Image covers 240 mm x 240 mm, 240x240, Brain
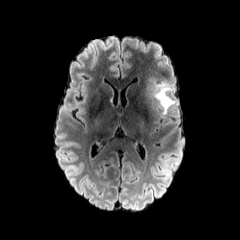
FLAIR magnetic resonance.
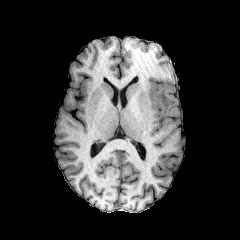
T1-weighted MR of the same slice.
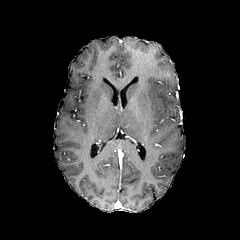
Post-contrast T1-weighted MR.
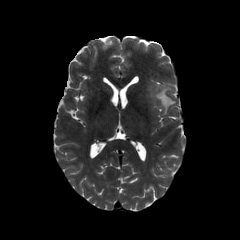
Same slice, T2-weighted magnetic resonance.
Segmented structures:
* peritumoral edema: 153 83 175 114